FLAIR MRI.
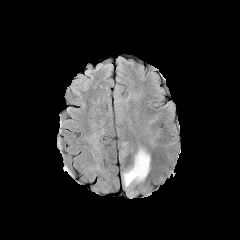
T1-weighted MRI.
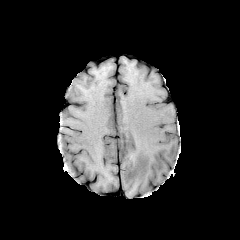
Post-contrast T1-weighted MR image.
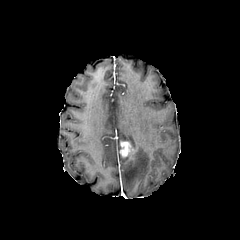
T2-weighted MRI.
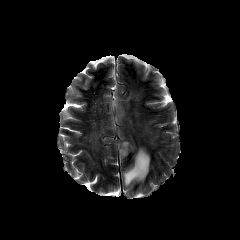
Head, Axial view
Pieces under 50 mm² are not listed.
{
  "peritumoral_edema": [
    "[x1=122, y1=146, x2=150, y2=196]"
  ],
  "enhancing_tumor": [
    "[x1=120, y1=141, x2=130, y2=157]"
  ]
}